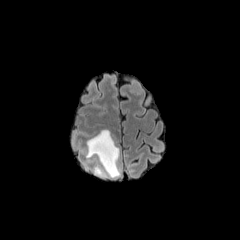
FLAIR magnetic resonance.
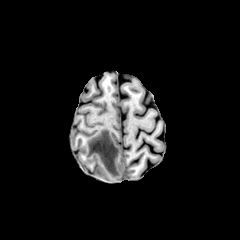
T1-weighted MRI.
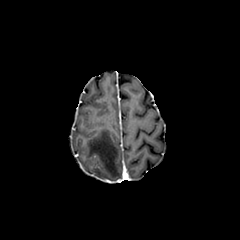
Same slice, post-contrast T1-weighted MR.
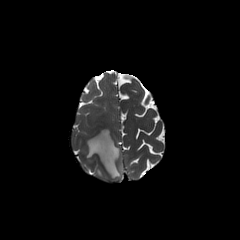
T2-weighted MR of the same slice.
240x240 px
peritumoral edema at 86:129:120:178